Axial view. 240x240 px. Slice 111/155.
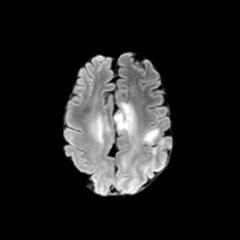
FLAIR MR.
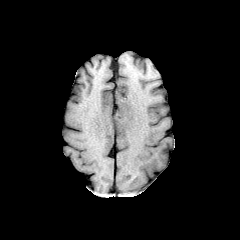
T1-weighted MR of the same slice.
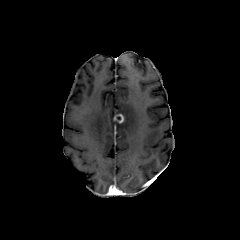
Same slice, post-contrast T1-weighted magnetic resonance.
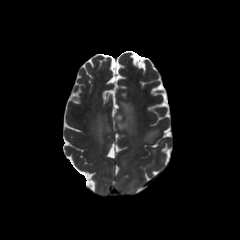
T2-weighted magnetic resonance.
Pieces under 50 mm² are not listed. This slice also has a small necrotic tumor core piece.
Findings:
- enhancing tumor: rect(114, 114, 123, 123)
- peritumoral edema: rect(91, 115, 109, 143); rect(143, 129, 158, 143); rect(117, 102, 136, 135)